240x240. Image width 240 mm. Brain.
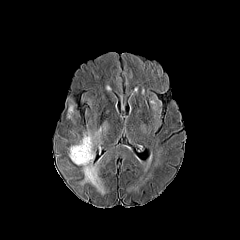
FLAIR MR.
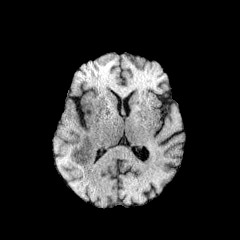
T1-weighted MRI.
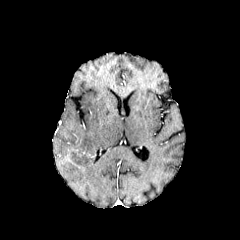
Post-contrast T1-weighted MR of the same slice.
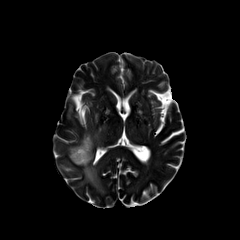
T2-weighted magnetic resonance.
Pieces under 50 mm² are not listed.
enhancing_tumor:
  - box=[75, 149, 90, 156]
peritumoral_edema:
  - box=[69, 127, 104, 194]